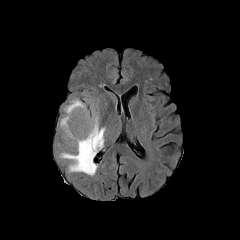
FLAIR magnetic resonance.
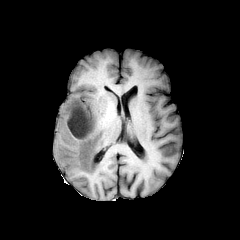
T1-weighted MRI.
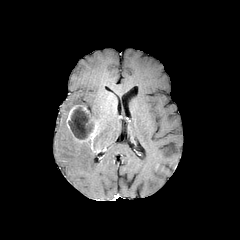
Post-contrast T1-weighted MRI of the same slice.
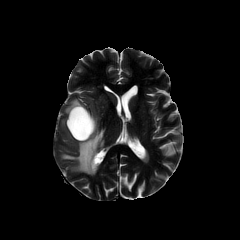
T2-weighted MRI of the same slice.
Head.
enhancing tumor: <bbox>66, 105, 96, 142</bbox>
necrotic tumor core: <bbox>68, 107, 93, 139</bbox>
peritumoral edema: <bbox>60, 98, 105, 175</bbox>